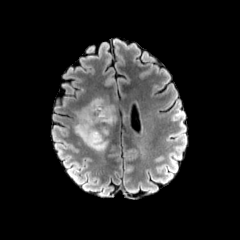
FLAIR MR.
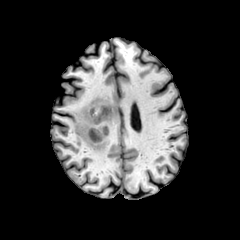
T1-weighted magnetic resonance of the same slice.
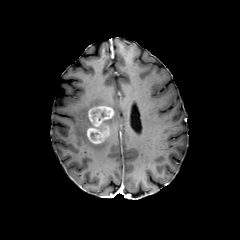
Post-contrast T1-weighted MR image.
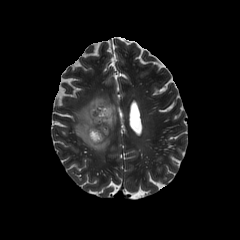
T2-weighted magnetic resonance.
Head. Image size 240x240.
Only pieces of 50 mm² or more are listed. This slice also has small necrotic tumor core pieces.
Findings:
• peritumoral edema: left=74, top=97, right=116, bottom=151
• enhancing tumor: left=86, top=105, right=114, bottom=144